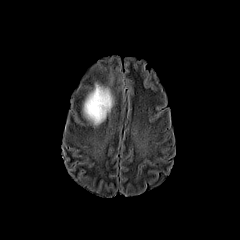
FLAIR MR image.
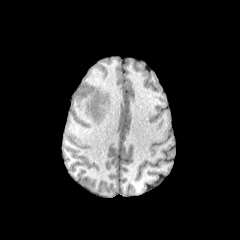
T1-weighted magnetic resonance of the same slice.
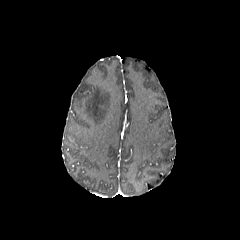
Post-contrast T1-weighted MRI of the same slice.
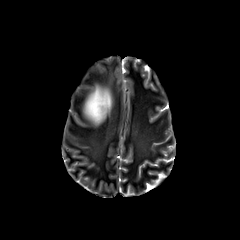
T2-weighted magnetic resonance.
Axial view
<segmentation>
  <peritumoral_edema>x1=81 y1=80 x2=114 y2=126</peritumoral_edema>
</segmentation>